FLAIR MR.
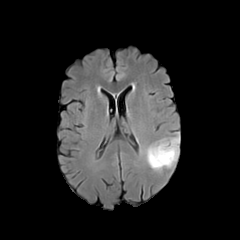
T1-weighted magnetic resonance.
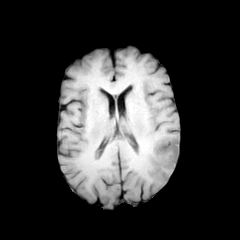
Post-contrast T1-weighted magnetic resonance.
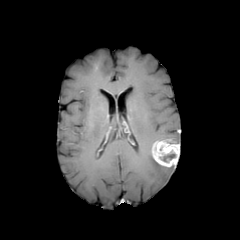
T2-weighted MR image.
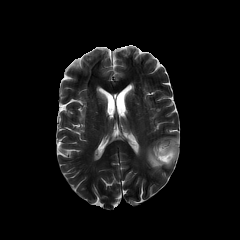
Head | Axial view
The enhancing tumor is bounded by region(151, 139, 179, 167). 2 peritumoral edema regions appear at region(145, 144, 166, 171); region(158, 133, 179, 142). The necrotic tumor core is at region(160, 153, 175, 161).